Head
FLAIR MRI.
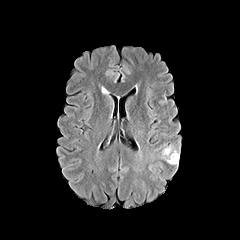
T1-weighted magnetic resonance.
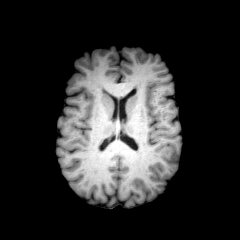
Post-contrast T1-weighted MR image.
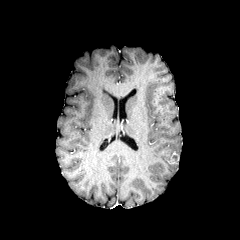
T2-weighted MRI.
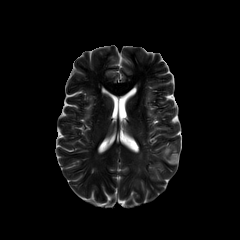
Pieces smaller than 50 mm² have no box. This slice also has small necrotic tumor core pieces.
The largest enhancing tumor region is at left=168, top=151, right=178, bottom=164. The largest peritumoral edema region is located at left=160, top=151, right=169, bottom=161.